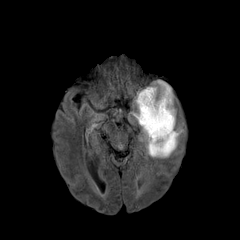
FLAIR MR image.
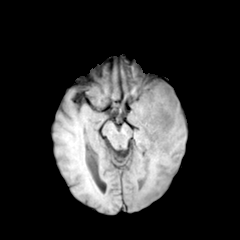
T1-weighted MR.
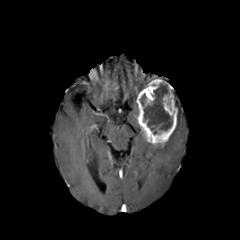
Post-contrast T1-weighted MRI.
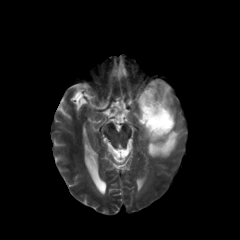
Same slice, T2-weighted MRI.
Head
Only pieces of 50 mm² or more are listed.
{"enhancing_tumor": ["(left=136, top=79, right=177, bottom=146)"], "necrotic_tumor_core": ["(left=144, top=84, right=172, bottom=134)"], "peritumoral_edema": ["(left=140, top=123, right=184, bottom=157)", "(left=131, top=100, right=138, bottom=119)"]}